FLAIR MRI.
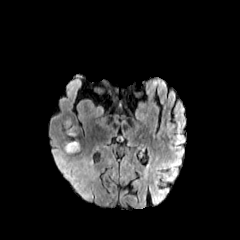
T1-weighted MRI.
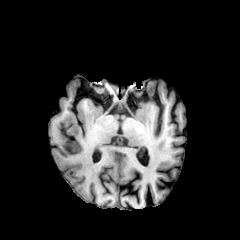
Post-contrast T1-weighted MRI.
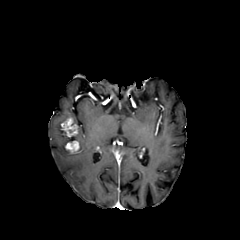
T2-weighted MR.
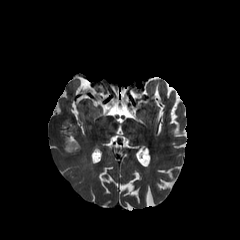
Brain | 240x240
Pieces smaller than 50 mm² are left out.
peritumoral edema: rect(50, 128, 94, 201) | enhancing tumor: rect(61, 116, 78, 136); rect(65, 140, 79, 153)